FLAIR MR image.
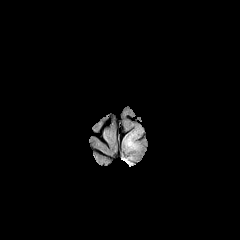
T1-weighted magnetic resonance.
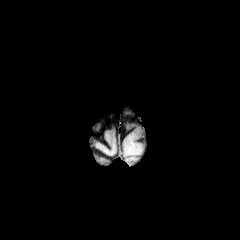
Post-contrast T1-weighted MR.
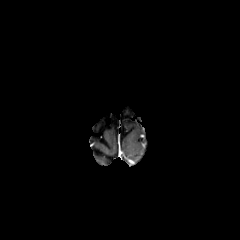
T2-weighted magnetic resonance.
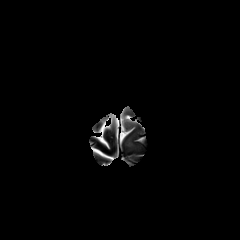
Brain.
peritumoral_edema:
  - {"x1": 124, "y1": 130, "x2": 140, "y2": 151}